FLAIR MR image.
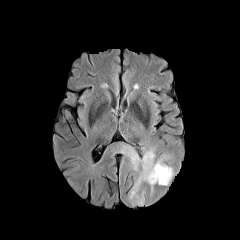
T1-weighted MR image.
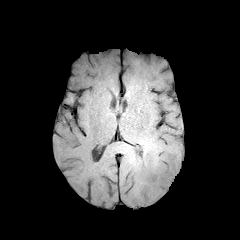
Post-contrast T1-weighted MR.
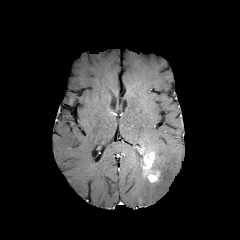
T2-weighted magnetic resonance.
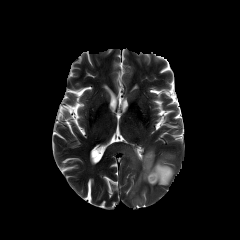
Brain; Axial plane
enhancing_tumor:
  - 143, 152, 160, 182
peritumoral_edema:
  - 124, 145, 173, 204